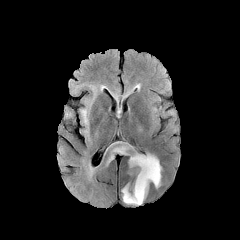
FLAIR MR image.
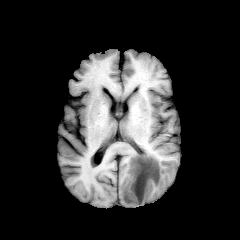
T1-weighted magnetic resonance.
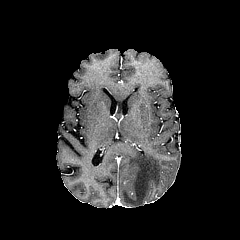
Post-contrast T1-weighted MR.
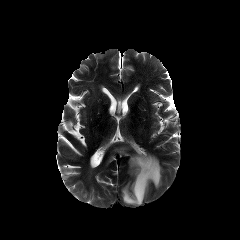
T2-weighted MR image of the same slice.
240x240
4 peritumoral edema regions are bounded by <box>122,153,161,205</box>, <box>114,146,127,154</box>, <box>105,155,114,166</box>, <box>80,109,87,124</box>.